Slice 129/155. Axial slice. 240x240. Brain.
FLAIR MR.
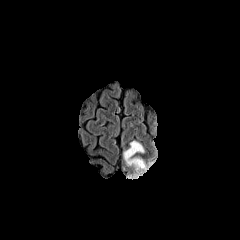
T1-weighted magnetic resonance.
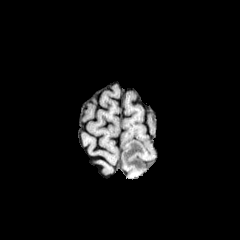
Post-contrast T1-weighted MR.
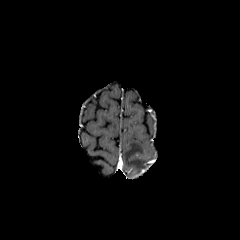
T2-weighted MR.
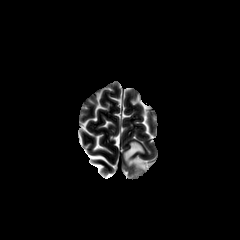
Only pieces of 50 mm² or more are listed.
<segmentation>
  <enhancing_tumor><bbox>128, 166, 144, 178</bbox></enhancing_tumor>
  <peritumoral_edema><bbox>123, 141, 146, 171</bbox></peritumoral_edema>
</segmentation>